FLAIR magnetic resonance.
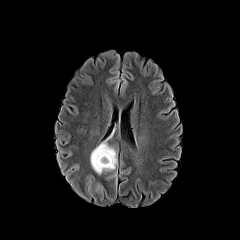
T1-weighted magnetic resonance.
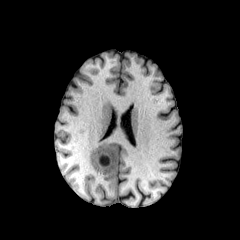
Post-contrast T1-weighted MR image.
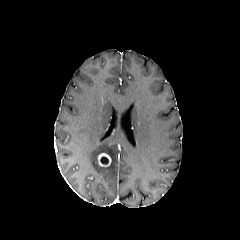
T2-weighted MR image.
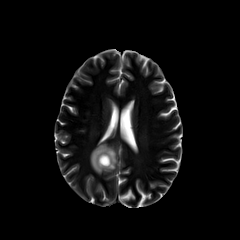
240x240 px, Head
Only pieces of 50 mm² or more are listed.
Annotated regions:
• necrotic tumor core: box=[100, 156, 108, 164]
• peritumoral edema: box=[90, 145, 117, 174]
• enhancing tumor: box=[98, 153, 111, 166]